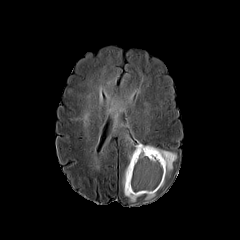
FLAIR MRI.
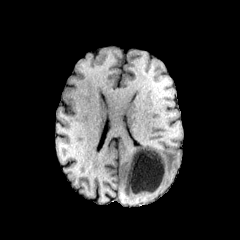
T1-weighted magnetic resonance.
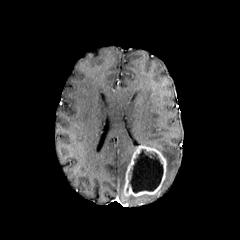
Post-contrast T1-weighted MR.
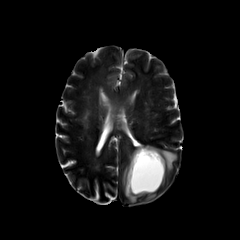
T2-weighted MR.
240x240 px | Axial plane
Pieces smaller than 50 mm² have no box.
The 2 largest peritumoral edema regions are bounded by bbox=[156, 148, 176, 175]; bbox=[101, 97, 135, 161]. The enhancing tumor is located at bbox=[124, 145, 166, 196]. The largest necrotic tumor core region is bounded by bbox=[129, 149, 163, 192].